FLAIR MR image.
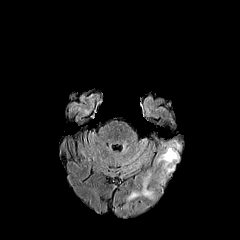
T1-weighted MRI.
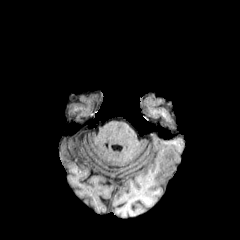
Post-contrast T1-weighted MR image.
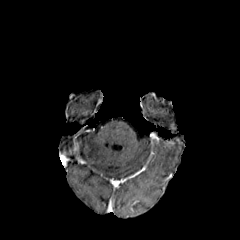
T2-weighted MR.
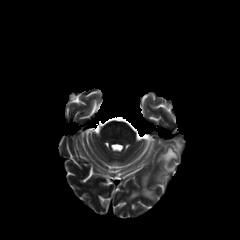
Axial slice
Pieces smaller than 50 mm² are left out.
• peritumoral edema: x1=142 y1=178 x2=152 y2=197, x1=158 y1=147 x2=178 y2=172